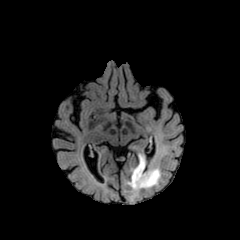
FLAIR MR image.
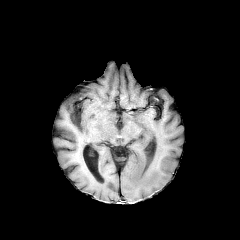
T1-weighted MRI of the same slice.
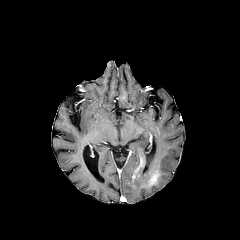
Post-contrast T1-weighted MR image.
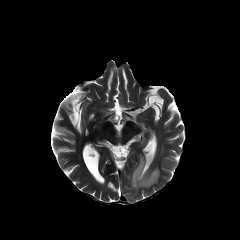
Same slice, T2-weighted MR image.
240x240 | Axial view
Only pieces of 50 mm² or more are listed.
peritumoral edema at {"x1": 128, "y1": 154, "x2": 160, "y2": 195}
enhancing tumor at {"x1": 148, "y1": 171, "x2": 159, "y2": 185}, {"x1": 132, "y1": 157, "x2": 143, "y2": 178}